Slice 128/155; Axial plane; Image size 240x240; Head; Image width 240 mm, 1.00 mm slice spacing
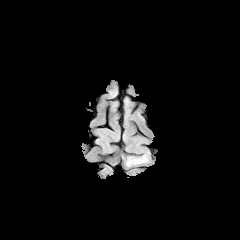
FLAIR magnetic resonance.
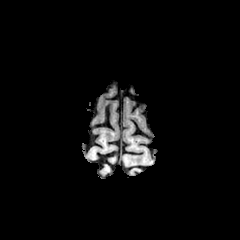
Same slice, T1-weighted MR.
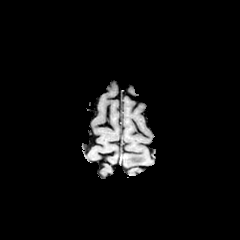
Same slice, post-contrast T1-weighted magnetic resonance.
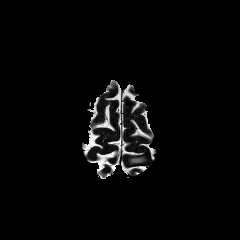
T2-weighted MR.
Findings:
* peritumoral edema: 128:157:146:164